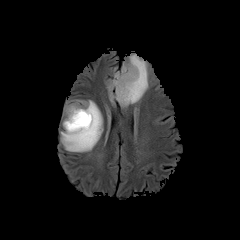
FLAIR MR.
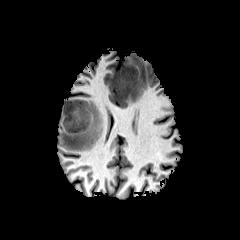
T1-weighted MR.
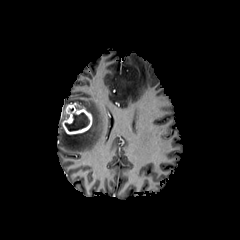
Same slice, post-contrast T1-weighted magnetic resonance.
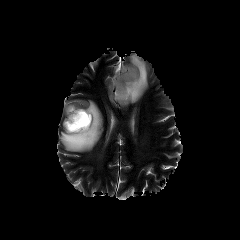
T2-weighted MRI.
Brain
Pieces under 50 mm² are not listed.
Annotated regions:
- enhancing tumor: [x1=62, y1=102, x2=92, y2=134]
- peritumoral edema: [x1=107, y1=53, x2=148, y2=106], [x1=60, y1=100, x2=103, y2=152]
- necrotic tumor core: [x1=65, y1=112, x2=89, y2=131]